Brain
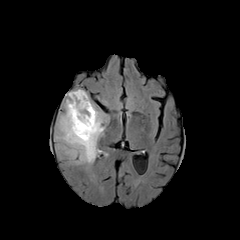
FLAIR MRI.
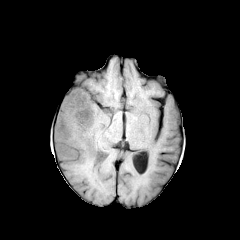
T1-weighted MRI.
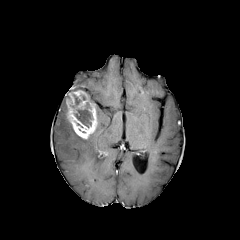
Post-contrast T1-weighted MR of the same slice.
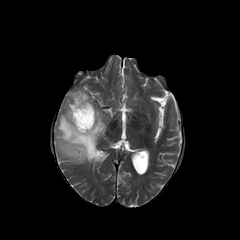
T2-weighted MRI of the same slice.
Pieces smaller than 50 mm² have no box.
Segmented structures:
* peritumoral edema: box(55, 103, 106, 163)
* necrotic tumor core: box(74, 103, 92, 127)
* enhancing tumor: box(66, 90, 97, 139)